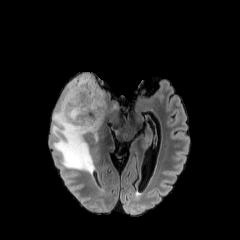
FLAIR MR image.
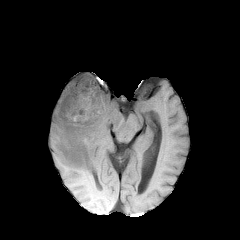
Same slice, T1-weighted magnetic resonance.
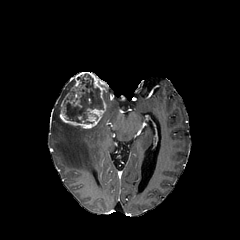
Post-contrast T1-weighted MR.
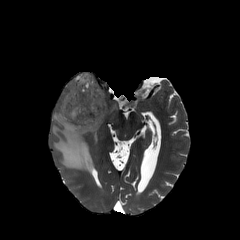
T2-weighted MR.
Axial slice. Brain. Image size 240x240.
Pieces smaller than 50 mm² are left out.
The largest enhancing tumor region lies within left=59, top=72, right=106, bottom=128. The largest necrotic tumor core region appears at left=64, top=74, right=103, bottom=123. The largest peritumoral edema region is bounded by left=52, top=78, right=109, bottom=172.